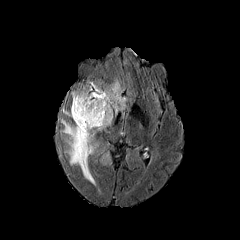
FLAIR MR.
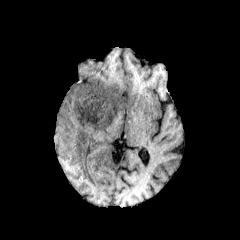
Same slice, T1-weighted magnetic resonance.
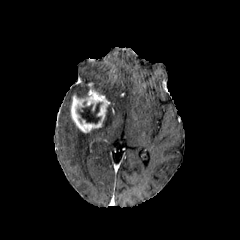
Post-contrast T1-weighted magnetic resonance of the same slice.
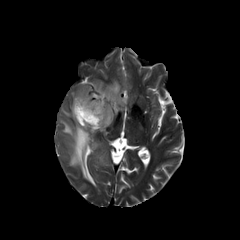
T2-weighted MR image.
Axial view
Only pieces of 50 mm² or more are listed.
The enhancing tumor is bounded by bbox(71, 86, 110, 133). 2 peritumoral edema regions are bounded by bbox(61, 107, 70, 116); bbox(60, 80, 127, 185). The largest necrotic tumor core region is bounded by bbox(77, 102, 101, 123).